FLAIR MR image.
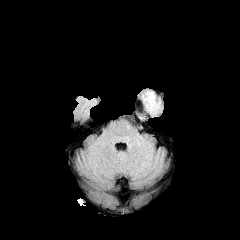
T1-weighted MR.
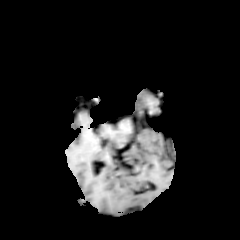
Post-contrast T1-weighted magnetic resonance.
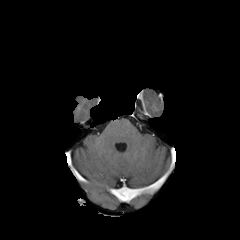
T2-weighted MR image.
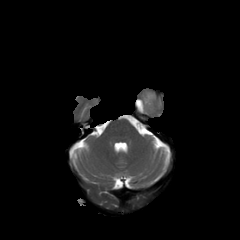
* peritumoral edema: left=142, top=90, right=159, bottom=112